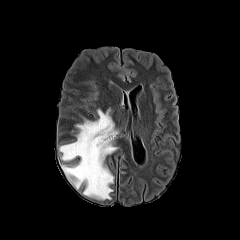
FLAIR magnetic resonance.
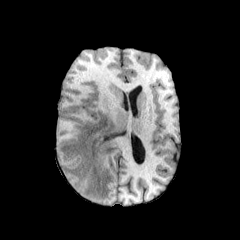
T1-weighted MRI.
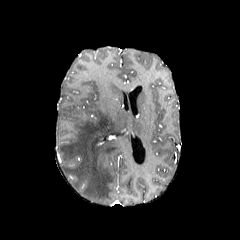
Post-contrast T1-weighted MR.
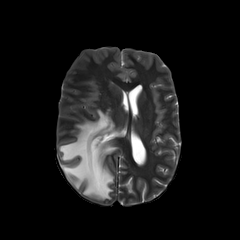
T2-weighted MR image.
Head
peritumoral_edema:
  - x1=59, y1=109, x2=118, y2=199